Axial plane
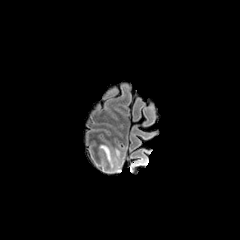
FLAIR magnetic resonance.
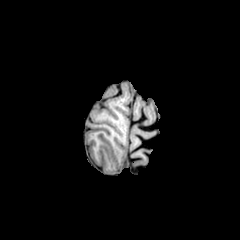
Same slice, T1-weighted MR image.
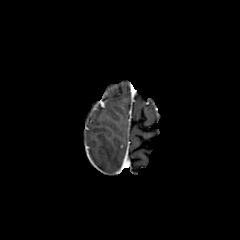
Post-contrast T1-weighted MR of the same slice.
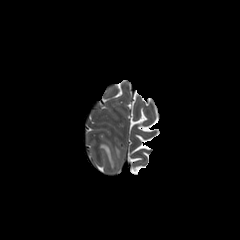
T2-weighted MR image of the same slice.
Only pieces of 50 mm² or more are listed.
<segmentation>
  <peritumoral_edema>bbox=[100, 144, 114, 166]</peritumoral_edema>
</segmentation>